Axial plane, Head
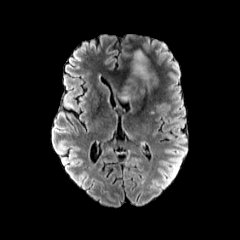
FLAIR magnetic resonance.
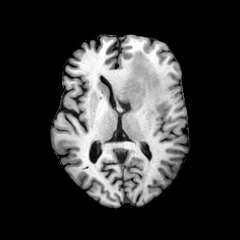
T1-weighted MR image.
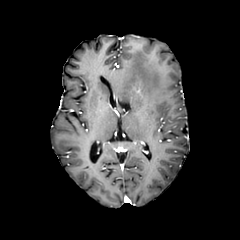
Post-contrast T1-weighted MR image.
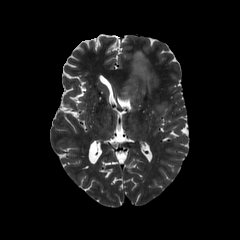
Same slice, T2-weighted MR image.
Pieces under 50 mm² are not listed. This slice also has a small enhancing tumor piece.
peritumoral edema: bbox=[118, 51, 158, 101]